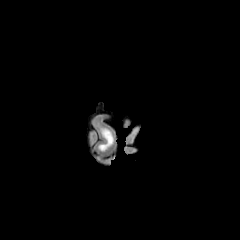
FLAIR MR.
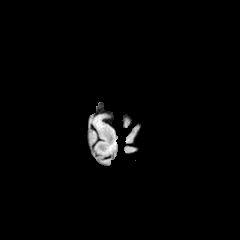
T1-weighted MRI.
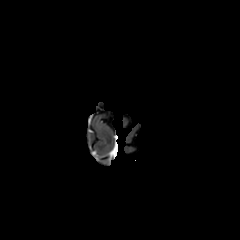
Post-contrast T1-weighted MR image.
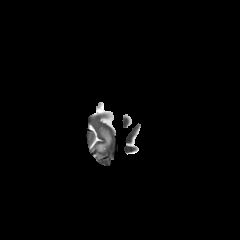
T2-weighted MRI.
240x240 px | Brain
peritumoral edema: l=98, t=128, r=113, b=151